FLAIR MR image.
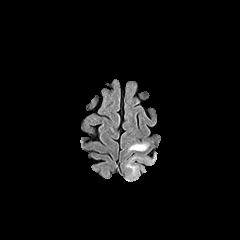
T1-weighted MR.
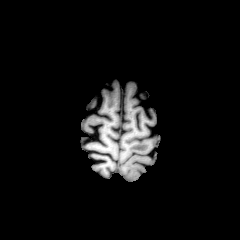
Post-contrast T1-weighted magnetic resonance.
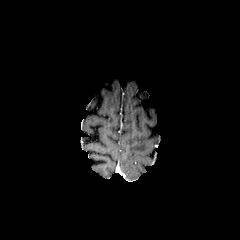
T2-weighted magnetic resonance.
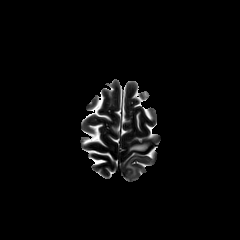
Axial view, Image size 240x240
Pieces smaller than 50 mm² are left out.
peritumoral edema: bbox=[129, 142, 149, 151]; bbox=[126, 162, 136, 175]